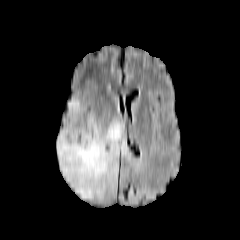
FLAIR MRI.
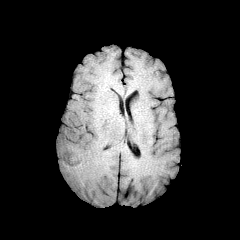
T1-weighted magnetic resonance.
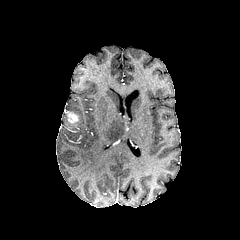
Post-contrast T1-weighted MR.
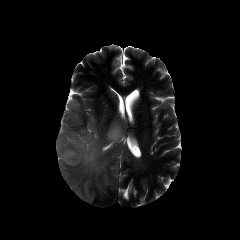
T2-weighted magnetic resonance.
Axial slice; Image size 240x240; Brain
{"enhancing_tumor": ["(x1=67, y1=112, x2=78, y2=124)"], "peritumoral_edema": ["(x1=56, y1=98, x2=129, y2=200)"]}